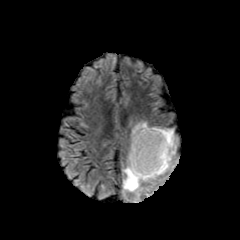
FLAIR MR image.
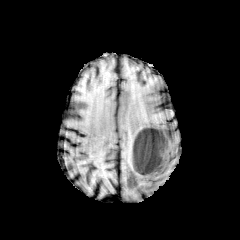
Same slice, T1-weighted MR.
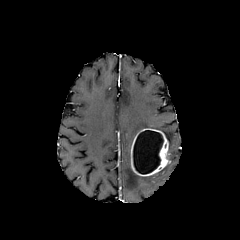
Post-contrast T1-weighted MR image.
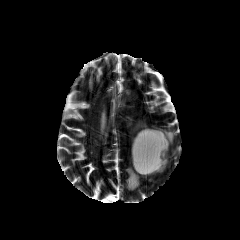
T2-weighted magnetic resonance.
240x240; Brain; Axial view
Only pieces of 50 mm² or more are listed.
The necrotic tumor core is at [x1=133, y1=130, x2=163, y2=174]. The enhancing tumor appears at [x1=130, y1=128, x2=170, y2=176]. The 2 largest peritumoral edema regions are located at [x1=131, y1=121, x2=176, y2=160], [x1=123, y1=152, x2=172, y2=191].